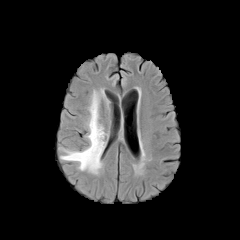
FLAIR MR image.
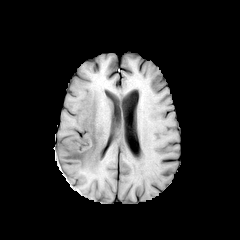
T1-weighted magnetic resonance of the same slice.
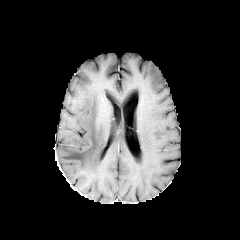
Same slice, post-contrast T1-weighted MR image.
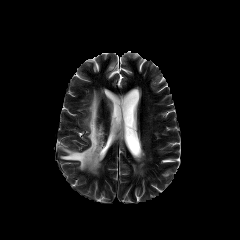
T2-weighted MR image of the same slice.
Brain.
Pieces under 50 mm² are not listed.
peritumoral edema: bounding box <bbox>60, 91, 105, 173</bbox>